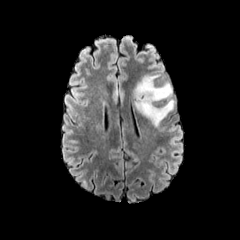
FLAIR MR.
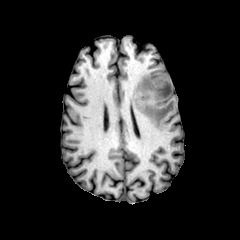
T1-weighted MRI.
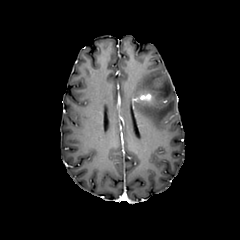
Post-contrast T1-weighted MR image.
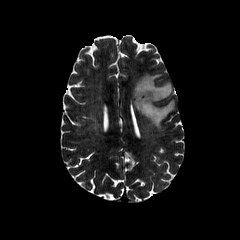
T2-weighted MR.
Brain.
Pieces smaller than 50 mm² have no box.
enhancing_tumor:
  - rect(136, 92, 152, 101)
peritumoral_edema:
  - rect(134, 74, 174, 127)